FLAIR MR image.
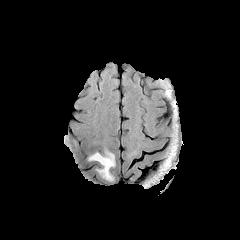
T1-weighted MR image.
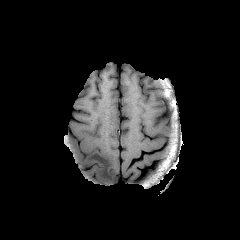
Post-contrast T1-weighted magnetic resonance.
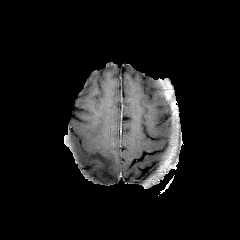
T2-weighted magnetic resonance.
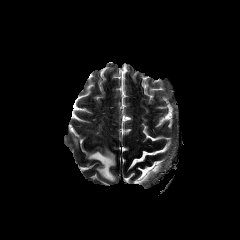
peritumoral edema = left=88, top=148, right=115, bottom=181